Axial plane, Slice index 34
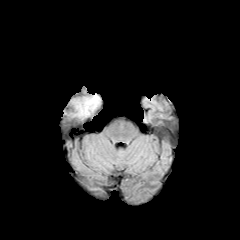
FLAIR MRI.
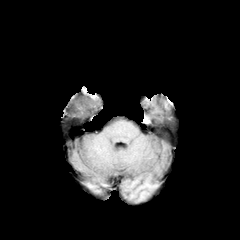
T1-weighted MR.
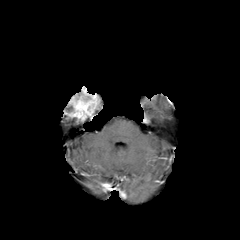
Post-contrast T1-weighted magnetic resonance.
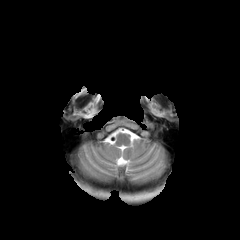
Same slice, T2-weighted MR image.
The enhancing tumor is located at [64,87,100,121].